Image size 240x240. Head. Image width 240 mm.
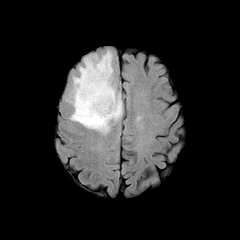
FLAIR magnetic resonance.
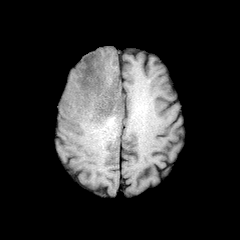
T1-weighted MR image.
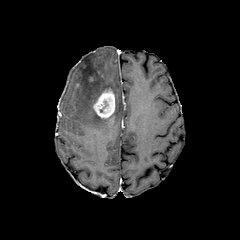
Post-contrast T1-weighted MR image.
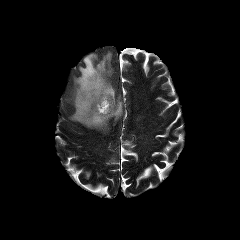
T2-weighted magnetic resonance of the same slice.
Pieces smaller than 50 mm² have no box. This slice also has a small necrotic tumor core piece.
enhancing tumor: 93 88 115 118
peritumoral edema: 70 51 122 132